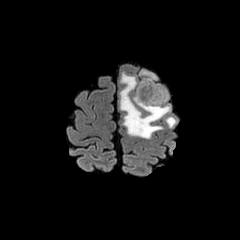
FLAIR MRI.
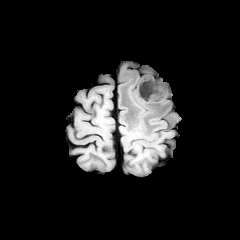
T1-weighted magnetic resonance.
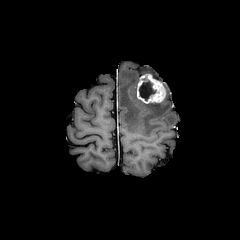
Post-contrast T1-weighted MR of the same slice.
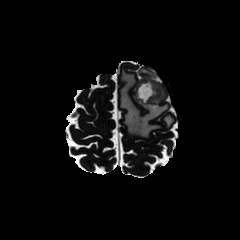
Same slice, T2-weighted MRI.
Head; Image size 240x240
The necrotic tumor core is bounded by box(139, 80, 155, 100). The enhancing tumor is located at box(137, 74, 166, 103). 3 peritumoral edema regions are bounded by box(119, 71, 171, 138); box(139, 69, 157, 79); box(165, 116, 175, 127).